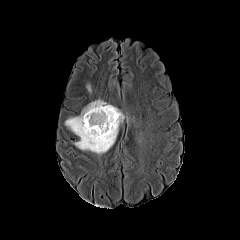
FLAIR MRI.
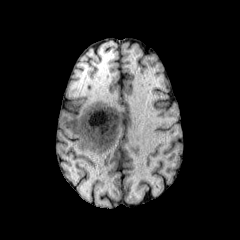
T1-weighted MRI of the same slice.
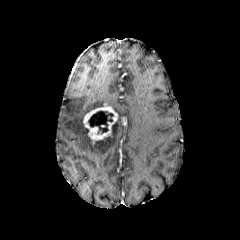
Post-contrast T1-weighted MRI.
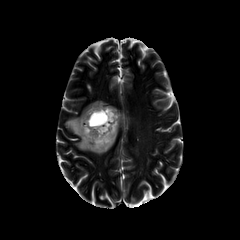
T2-weighted MRI.
240x240 px
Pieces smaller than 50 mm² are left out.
{"enhancing_tumor": ["bbox(83, 105, 118, 143)"], "necrotic_tumor_core": ["bbox(88, 111, 114, 134)"], "peritumoral_edema": ["bbox(65, 99, 123, 154)"]}